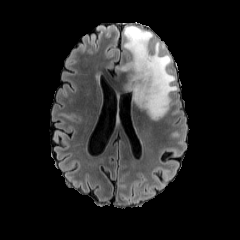
FLAIR magnetic resonance.
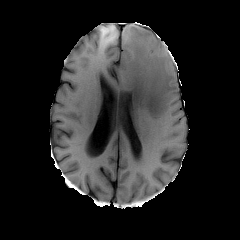
Same slice, T1-weighted magnetic resonance.
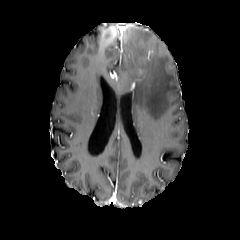
Post-contrast T1-weighted magnetic resonance of the same slice.
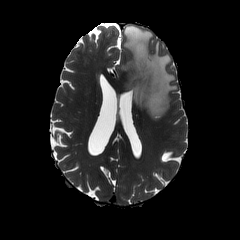
T2-weighted MRI of the same slice.
Head; Axial view
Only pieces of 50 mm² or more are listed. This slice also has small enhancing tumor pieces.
peritumoral edema — 119,25,177,120